Brain | Axial view | Slice 59 of 155
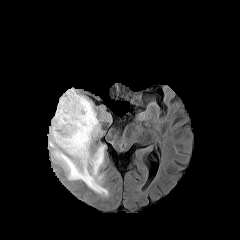
FLAIR magnetic resonance.
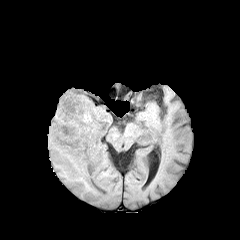
T1-weighted MR of the same slice.
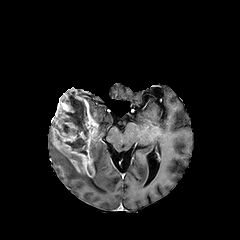
Post-contrast T1-weighted magnetic resonance.
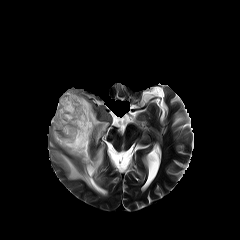
T2-weighted MR image.
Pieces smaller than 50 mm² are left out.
{"necrotic_tumor_core": ["x1=64, y1=92, x2=88, y2=155", "x1=62, y1=124, x2=69, y2=133"], "enhancing_tumor": ["x1=51, y1=88, x2=99, y2=177"], "peritumoral_edema": ["x1=49, y1=127, x2=108, y2=195", "x1=79, y1=94, x2=101, y2=135"]}